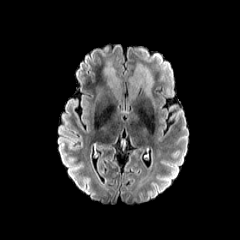
FLAIR MRI.
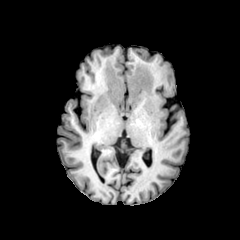
T1-weighted MRI of the same slice.
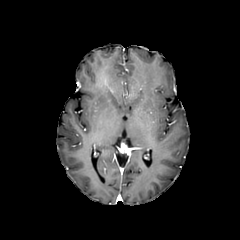
Post-contrast T1-weighted MRI.
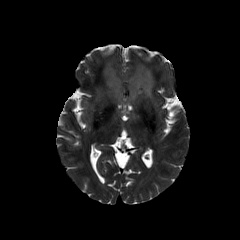
Same slice, T2-weighted magnetic resonance.
Image size 240x240, Axial view
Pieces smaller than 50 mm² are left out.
Segmented structures:
* peritumoral edema: rect(105, 62, 153, 99)